FLAIR MR.
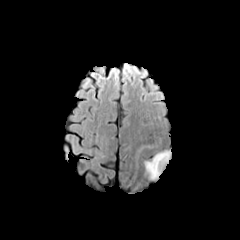
T1-weighted MR image.
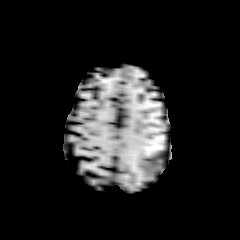
Post-contrast T1-weighted MR.
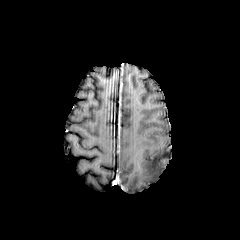
T2-weighted MR.
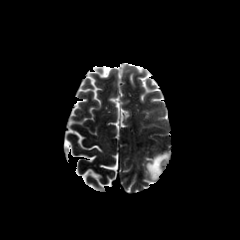
Head; 240x240 px
* peritumoral edema: region(145, 151, 170, 179)